Slice 66/155
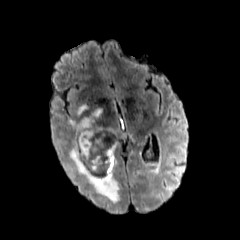
FLAIR MR image.
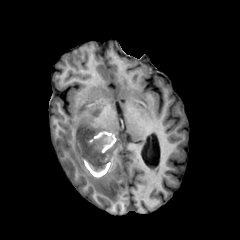
T1-weighted MRI.
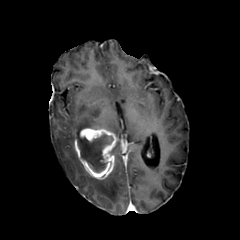
Post-contrast T1-weighted magnetic resonance.
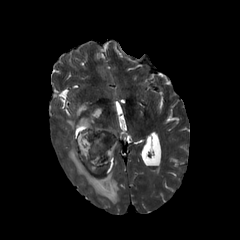
T2-weighted MR.
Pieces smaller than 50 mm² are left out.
The 3 largest peritumoral edema regions are bounded by 69:147:119:203, 68:109:115:137, 77:104:87:115. The enhancing tumor is at 74:128:116:179. The necrotic tumor core is bounded by 77:134:113:172.